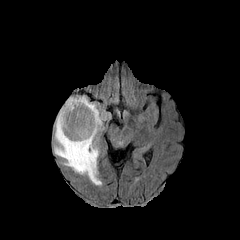
FLAIR magnetic resonance.
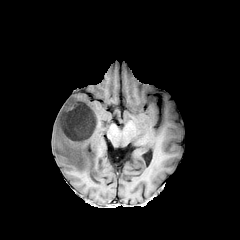
T1-weighted MRI.
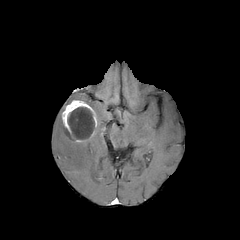
Same slice, post-contrast T1-weighted MR image.
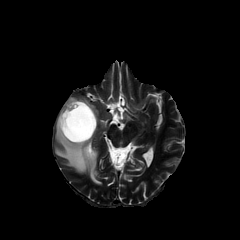
T2-weighted MR image.
Axial view | Brain
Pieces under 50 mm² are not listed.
enhancing tumor: [61,100,97,142] | peritumoral edema: [54,96,106,184] | necrotic tumor core: [68,107,94,139]